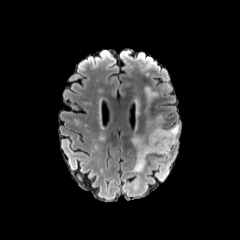
FLAIR MR.
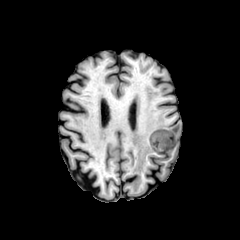
T1-weighted MR image.
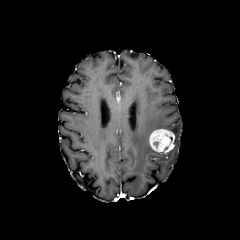
Post-contrast T1-weighted magnetic resonance.
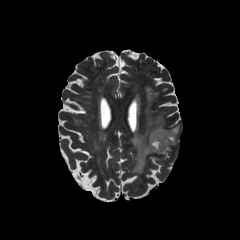
Same slice, T2-weighted magnetic resonance.
Brain
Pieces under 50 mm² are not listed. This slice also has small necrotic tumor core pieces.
peritumoral edema: 166, 124, 179, 145; 129, 86, 169, 172
enhancing tumor: 149, 129, 174, 153